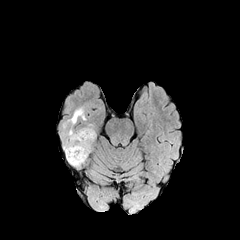
FLAIR MRI.
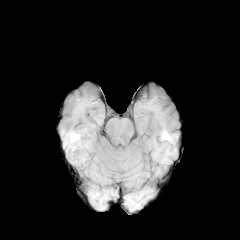
T1-weighted MRI.
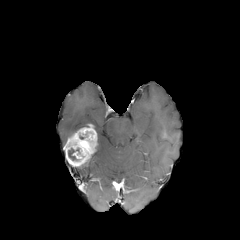
Same slice, post-contrast T1-weighted MRI.
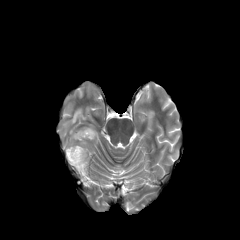
Same slice, T2-weighted MR.
Brain; Axial plane
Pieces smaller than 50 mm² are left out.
Segmented structures:
• enhancing tumor: x1=63 y1=124 x2=97 y2=167
• necrotic tumor core: x1=68 y1=148 x2=76 y2=160
• peritumoral edema: x1=63 y1=108 x2=85 y2=127